Brain, Image width 240 mm, Axial plane
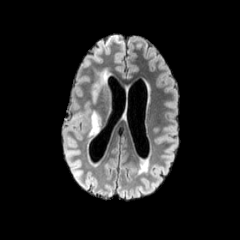
FLAIR MR.
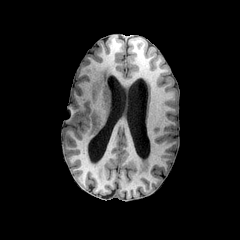
Same slice, T1-weighted MR.
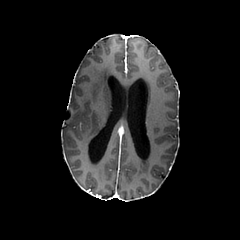
Same slice, post-contrast T1-weighted MR.
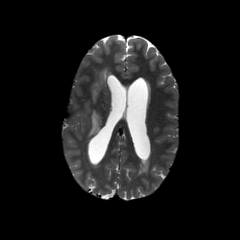
T2-weighted MR.
peritumoral edema = bbox=[92, 68, 109, 101]; bbox=[88, 111, 100, 136]